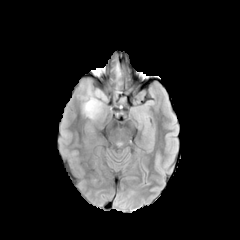
FLAIR MRI.
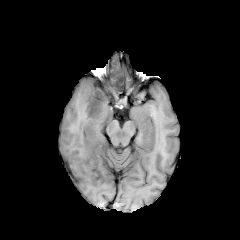
T1-weighted MRI of the same slice.
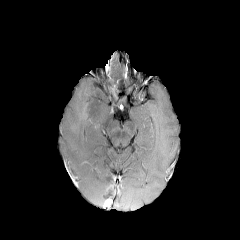
Post-contrast T1-weighted MR of the same slice.
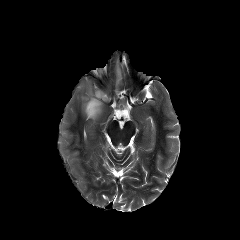
T2-weighted magnetic resonance of the same slice.
Image size 240x240 | Brain
<segmentation>
  <peritumoral_edema>[81, 84, 107, 119], [116, 64, 121, 78]</peritumoral_edema>
</segmentation>